FLAIR magnetic resonance.
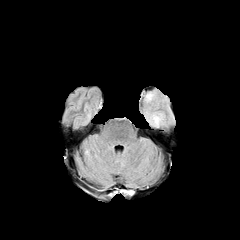
T1-weighted magnetic resonance.
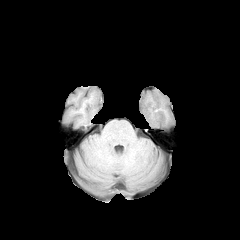
Post-contrast T1-weighted magnetic resonance.
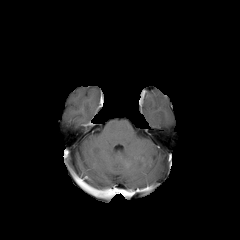
T2-weighted MR.
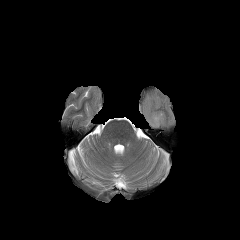
Image size 240x240.
peritumoral edema = bbox(146, 112, 163, 126)